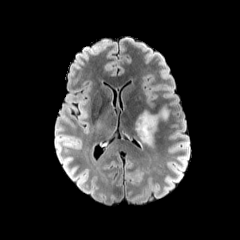
FLAIR MRI.
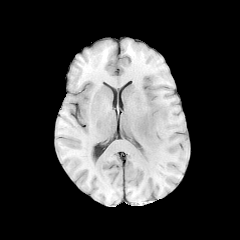
T1-weighted magnetic resonance.
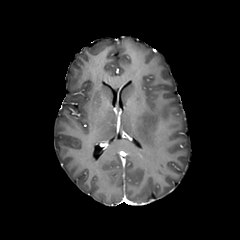
Post-contrast T1-weighted MR image.
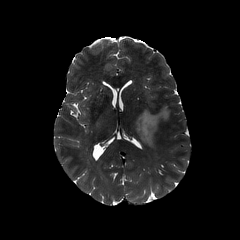
Same slice, T2-weighted MRI.
Axial view | Head
peritumoral edema at {"x1": 134, "y1": 105, "x2": 168, "y2": 148}